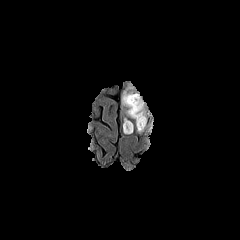
FLAIR MR.
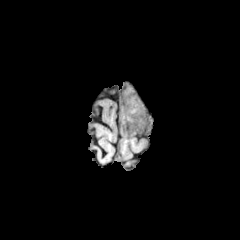
T1-weighted MR image.
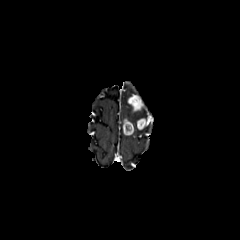
Post-contrast T1-weighted MRI.
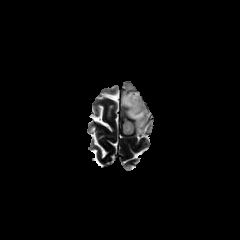
Same slice, T2-weighted MRI.
Axial plane
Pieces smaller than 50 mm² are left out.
{
  "enhancing_tumor": [
    "(137,118,147,129)",
    "(127,94,143,111)",
    "(123,119,133,135)"
  ],
  "peritumoral_edema": [
    "(121,86,147,125)"
  ]
}